Axial view, 240x240 px, Head
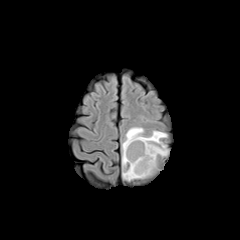
FLAIR magnetic resonance.
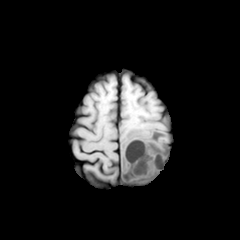
Same slice, T1-weighted MR image.
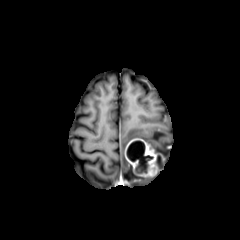
Post-contrast T1-weighted MR.
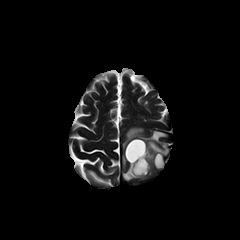
Same slice, T2-weighted MR.
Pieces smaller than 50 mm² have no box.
peritumoral edema — <bbox>122, 127, 168, 181</bbox>
enhancing tumor — <bbox>125, 138, 163, 176</bbox>
necrotic tumor core — <bbox>126, 140, 153, 168</bbox>